FLAIR MR.
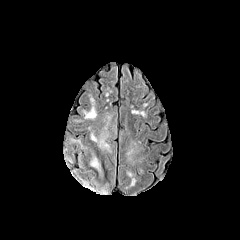
T1-weighted magnetic resonance.
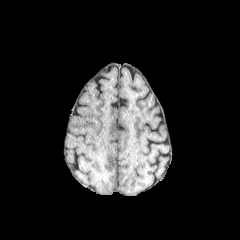
Post-contrast T1-weighted MR image.
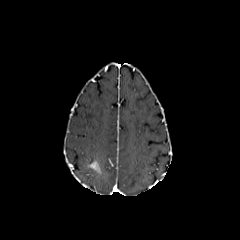
T2-weighted MR image.
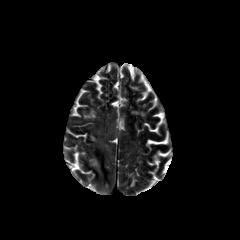
240x240, Head, Axial slice
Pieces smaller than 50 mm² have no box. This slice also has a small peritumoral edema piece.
enhancing_tumor:
  - [89, 160, 100, 172]